Image covers 240 mm x 240 mm, Axial slice, Brain
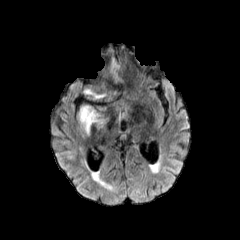
FLAIR magnetic resonance.
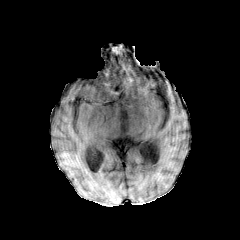
T1-weighted MR image of the same slice.
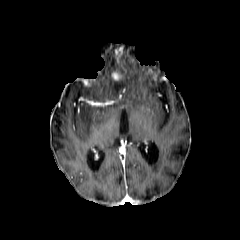
Post-contrast T1-weighted MR image of the same slice.
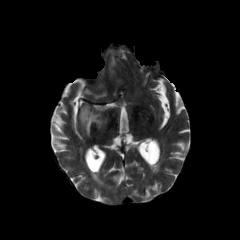
T2-weighted MR.
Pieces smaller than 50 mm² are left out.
enhancing tumor — x1=112, y1=72, x2=121, y2=81
peritumoral edema — x1=84, y1=89, x2=105, y2=98; x1=79, y1=105, x2=97, y2=133